Head, Slice 108 of 155, Axial plane
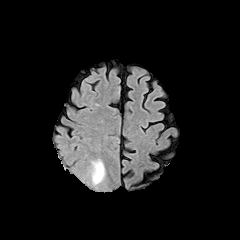
FLAIR magnetic resonance.
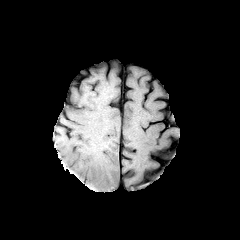
Same slice, T1-weighted MR image.
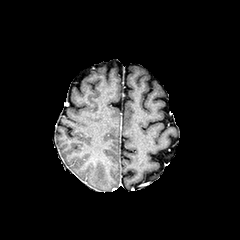
Same slice, post-contrast T1-weighted MR image.
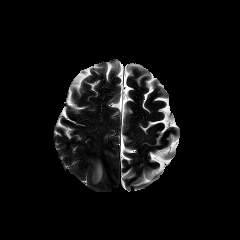
T2-weighted magnetic resonance of the same slice.
{"peritumoral_edema": ["x1=92, y1=160, x2=104, y2=184"]}